Brain, Axial view
FLAIR magnetic resonance.
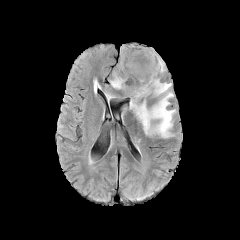
T1-weighted MR.
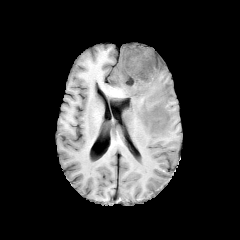
Post-contrast T1-weighted MR.
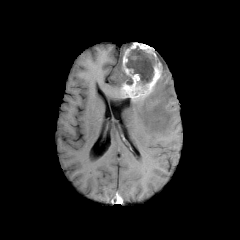
T2-weighted magnetic resonance.
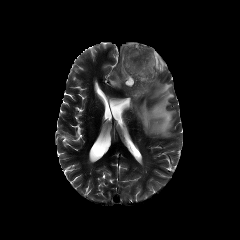
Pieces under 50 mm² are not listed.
- peritumoral edema: {"x1": 130, "y1": 79, "x2": 175, "y2": 137}, {"x1": 119, "y1": 45, "x2": 129, "y2": 69}, {"x1": 110, "y1": 72, "x2": 125, "y2": 89}
- enhancing tumor: {"x1": 121, "y1": 42, "x2": 162, "y2": 101}
- necrotic tumor core: {"x1": 126, "y1": 46, "x2": 154, "y2": 84}, {"x1": 123, "y1": 71, "x2": 132, "y2": 84}